FLAIR MRI.
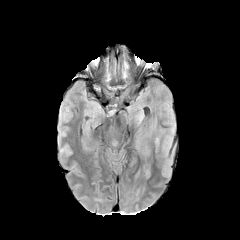
T1-weighted MRI.
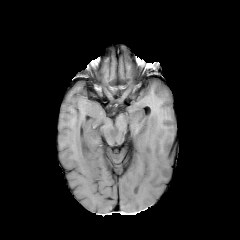
Post-contrast T1-weighted magnetic resonance.
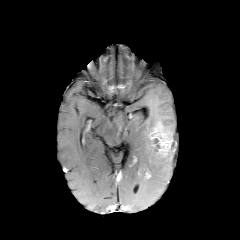
T2-weighted MR image.
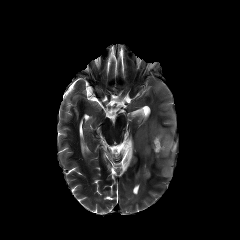
Axial plane. Image size 240x240. Brain.
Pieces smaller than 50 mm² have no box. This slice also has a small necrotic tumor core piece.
Findings:
• peritumoral edema: bbox=[164, 160, 171, 174]
• enhancing tumor: bbox=[150, 128, 171, 155]